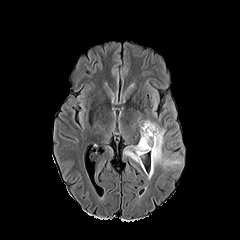
FLAIR MRI.
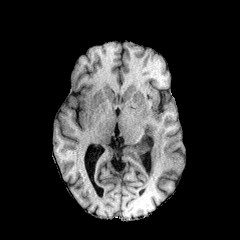
T1-weighted MR of the same slice.
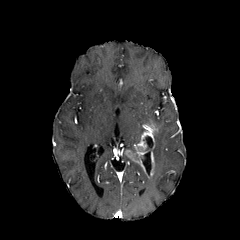
Post-contrast T1-weighted magnetic resonance.
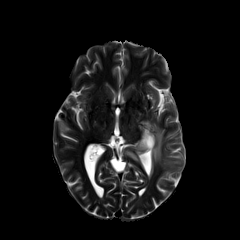
Same slice, T2-weighted MR.
240x240 px.
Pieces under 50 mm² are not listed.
enhancing tumor: bbox(125, 123, 157, 174)
necrotic tumor core: bbox(143, 136, 153, 150)
peritumoral edema: bbox(152, 123, 179, 166)